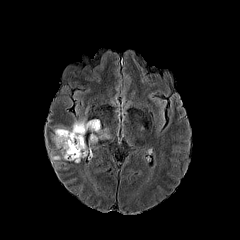
FLAIR MR image.
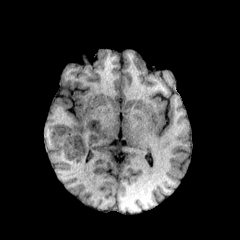
T1-weighted MR.
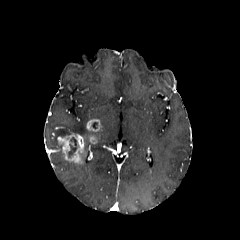
Post-contrast T1-weighted magnetic resonance of the same slice.
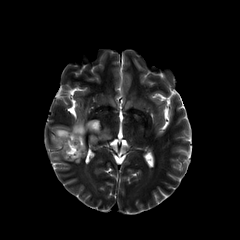
T2-weighted magnetic resonance of the same slice.
240x240; Brain
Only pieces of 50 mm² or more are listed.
necrotic tumor core — [68, 144, 76, 157]
enhancing tumor — [57, 133, 84, 164], [86, 119, 101, 143]
peritumoral edema — [98, 128, 110, 139], [56, 119, 86, 136]